FLAIR magnetic resonance.
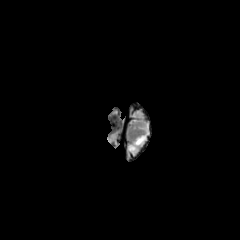
T1-weighted MRI.
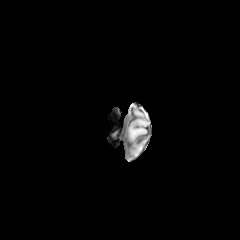
Post-contrast T1-weighted MR image.
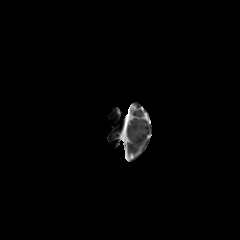
T2-weighted MRI.
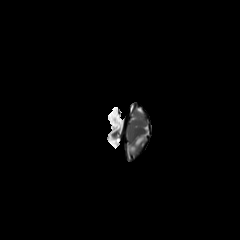
Axial plane. 240x240 px.
<segmentation>
  <peritumoral_edema><bbox>129, 135, 145, 151</bbox></peritumoral_edema>
</segmentation>